Head
FLAIR magnetic resonance.
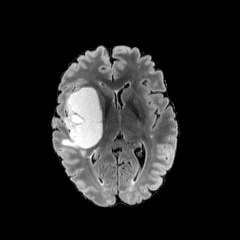
T1-weighted MRI.
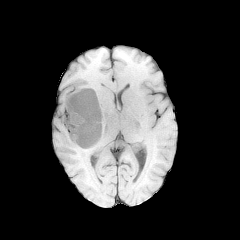
Post-contrast T1-weighted MR.
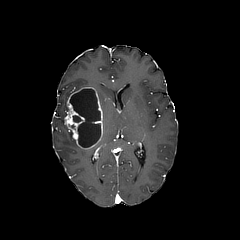
T2-weighted MR.
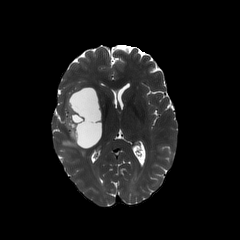
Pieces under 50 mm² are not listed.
<segmentation>
  <enhancing_tumor>[64, 87, 102, 148]</enhancing_tumor>
  <necrotic_tumor_core>[73, 115, 82, 122], [69, 89, 100, 147]</necrotic_tumor_core>
  <peritumoral_edema>[62, 131, 85, 154]</peritumoral_edema>
</segmentation>